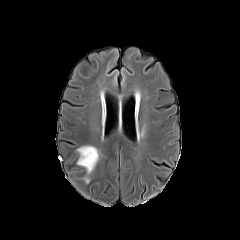
FLAIR magnetic resonance.
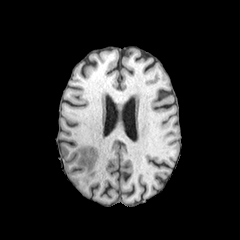
T1-weighted MRI.
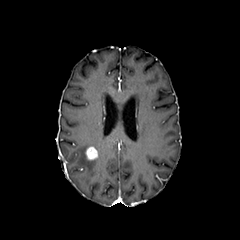
Post-contrast T1-weighted MR image.
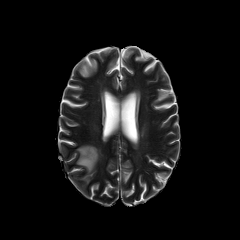
T2-weighted magnetic resonance.
Axial slice. Head.
The enhancing tumor is at <bbox>85, 147, 97, 160</bbox>. The peritumoral edema is at <bbox>76, 145, 101, 183</bbox>.